FLAIR MRI.
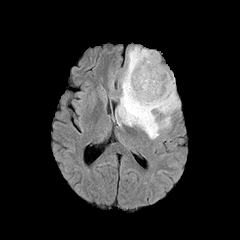
T1-weighted MR.
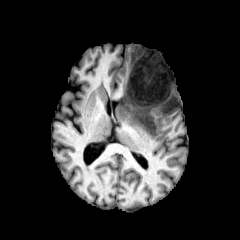
Post-contrast T1-weighted MR image.
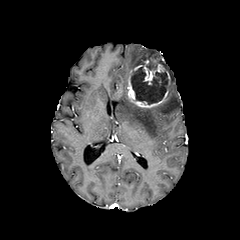
T2-weighted magnetic resonance.
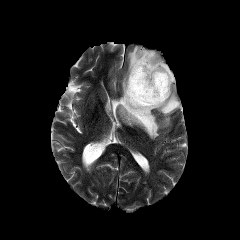
Axial slice. Brain. 240x240.
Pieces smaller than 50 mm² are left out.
enhancing tumor = [127,54,171,108]
necrotic tumor core = [131,55,168,104], [146,62,157,69]
peritumoral edema = [117,46,180,139]